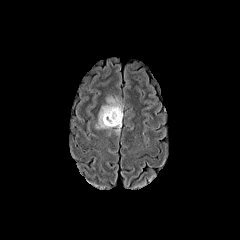
FLAIR MR image.
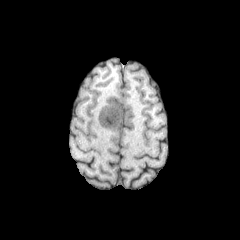
T1-weighted MRI of the same slice.
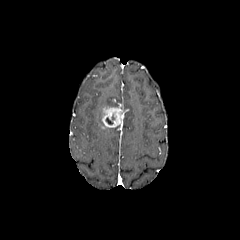
Post-contrast T1-weighted magnetic resonance.
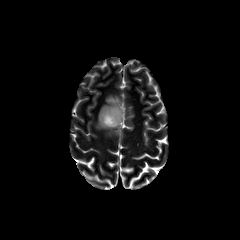
T2-weighted MR of the same slice.
Axial view
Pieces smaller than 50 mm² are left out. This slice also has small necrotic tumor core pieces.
The enhancing tumor lies within box=[101, 106, 124, 129]. The largest peritumoral edema region appears at box=[95, 96, 120, 128].